FLAIR MR.
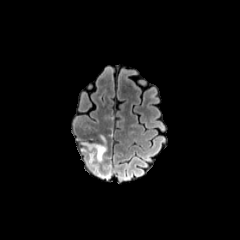
T1-weighted MR image.
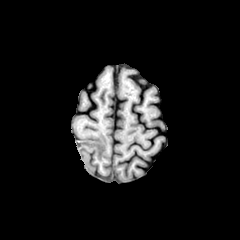
Post-contrast T1-weighted magnetic resonance.
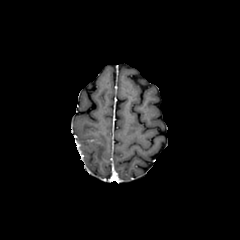
T2-weighted MR.
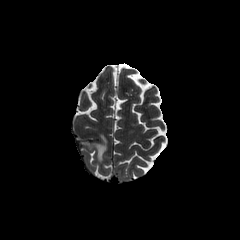
Axial plane
peritumoral_edema:
  - bbox=[85, 136, 106, 161]